FLAIR magnetic resonance.
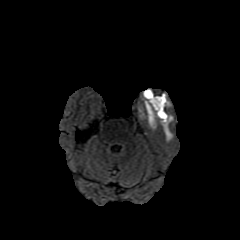
T1-weighted MRI.
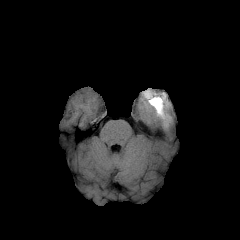
Post-contrast T1-weighted magnetic resonance.
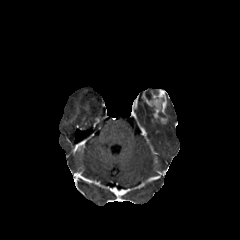
T2-weighted MRI.
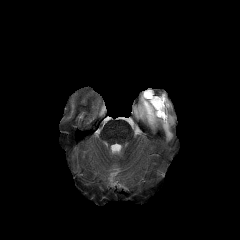
Brain
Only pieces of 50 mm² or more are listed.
<segmentation>
  <enhancing_tumor>[142,89,167,123]</enhancing_tumor>
  <peritumoral_edema>[138,96,173,140]</peritumoral_edema>
  <necrotic_tumor_core>[145,91,152,100]</necrotic_tumor_core>
</segmentation>